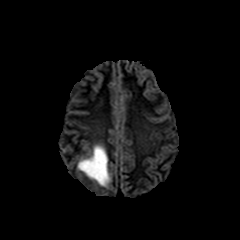
FLAIR MR.
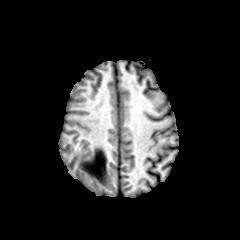
T1-weighted MRI of the same slice.
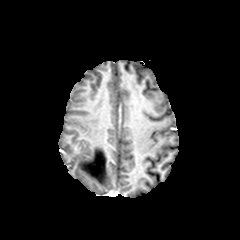
Post-contrast T1-weighted MR image of the same slice.
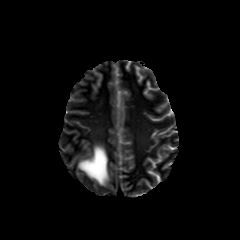
T2-weighted MR image.
Image size 240x240, Head
<segmentation>
  <peritumoral_edema>(left=77, top=145, right=110, bottom=187)</peritumoral_edema>
</segmentation>